240x240 px
FLAIR magnetic resonance.
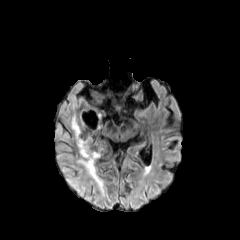
T1-weighted magnetic resonance.
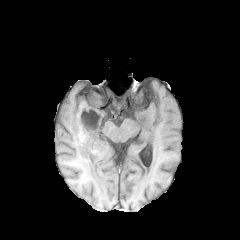
Post-contrast T1-weighted magnetic resonance.
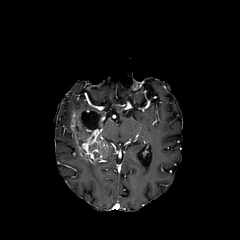
T2-weighted MR.
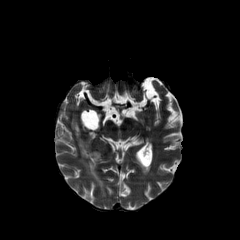
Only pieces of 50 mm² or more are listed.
enhancing tumor: region(70, 106, 110, 165) | peritumoral edema: region(77, 157, 103, 188) | necrotic tumor core: region(81, 112, 100, 131)